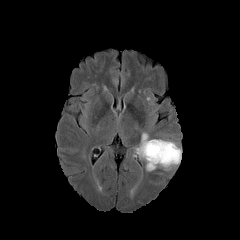
FLAIR MRI.
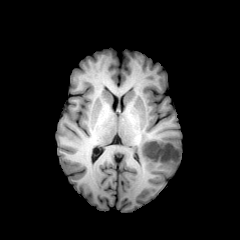
T1-weighted magnetic resonance of the same slice.
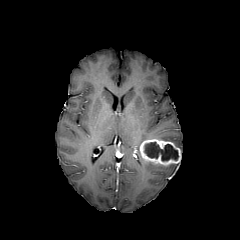
Same slice, post-contrast T1-weighted MR image.
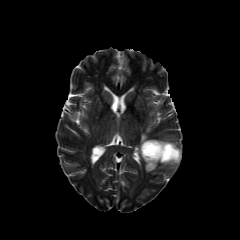
T2-weighted MRI.
Brain; Axial plane
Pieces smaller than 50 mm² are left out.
The 2 largest peritumoral edema regions are bounded by (x1=145, y1=162, x2=177, y2=171), (x1=140, y1=133, x2=149, y2=144). The necrotic tumor core is at (x1=144, y1=142, x2=178, y2=161). The enhancing tumor is at (x1=140, y1=139, x2=181, y2=165).